FLAIR magnetic resonance.
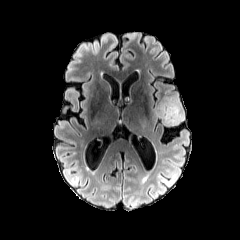
T1-weighted MRI.
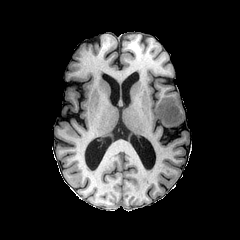
Post-contrast T1-weighted MR.
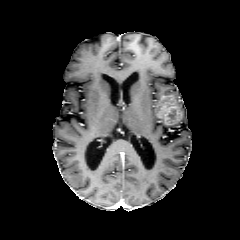
T2-weighted MR.
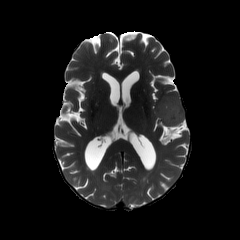
Axial slice
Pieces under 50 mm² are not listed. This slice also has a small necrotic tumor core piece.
{"enhancing_tumor": ["bbox(156, 95, 182, 124)"], "peritumoral_edema": ["bbox(173, 95, 184, 124)"]}